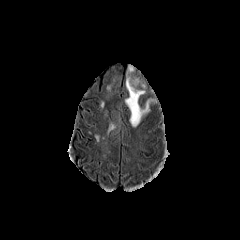
FLAIR MRI.
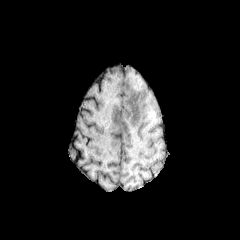
Same slice, T1-weighted MR.
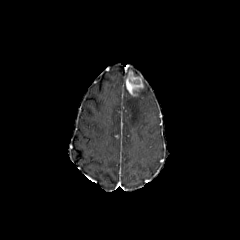
Post-contrast T1-weighted magnetic resonance.
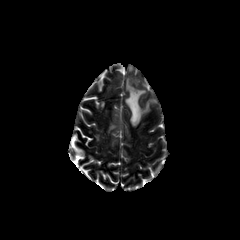
T2-weighted magnetic resonance of the same slice.
240x240. Brain.
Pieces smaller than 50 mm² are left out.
enhancing tumor: bbox=[126, 71, 143, 96]
peritumoral edema: bbox=[125, 84, 155, 126]